Head
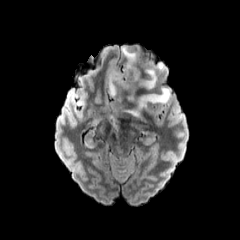
FLAIR MR.
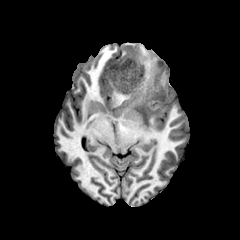
Same slice, T1-weighted MRI.
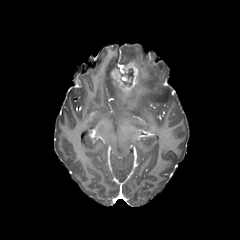
Post-contrast T1-weighted magnetic resonance.
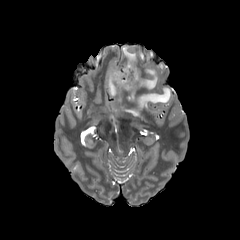
Same slice, T2-weighted magnetic resonance.
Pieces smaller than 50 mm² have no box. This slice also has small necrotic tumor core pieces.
The 4 largest peritumoral edema regions are bounded by box(107, 64, 117, 96); box(141, 69, 156, 89); box(122, 46, 137, 61); box(128, 88, 169, 115). The enhancing tumor is bounded by box(110, 61, 140, 93).